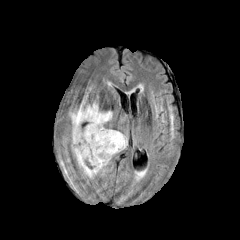
FLAIR MR.
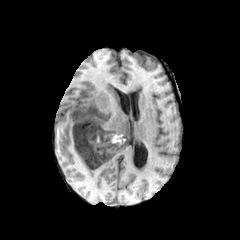
Same slice, T1-weighted MR.
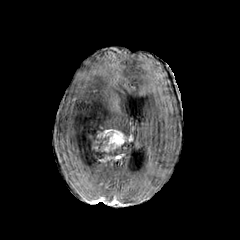
Post-contrast T1-weighted MR image.
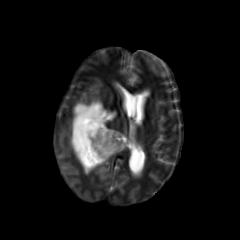
Same slice, T2-weighted MR.
Axial slice | Brain
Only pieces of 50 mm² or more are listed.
The largest peritumoral edema region is bounded by <bbox>71, 100, 113, 176</bbox>. The 2 largest necrotic tumor core regions appear at <bbox>92, 136, 108, 148</bbox>, <bbox>84, 142, 111, 165</bbox>. The 2 largest enhancing tumor regions are bounded by <bbox>92, 129, 127, 153</bbox>, <bbox>98, 155, 113, 162</bbox>.